Image covers 240 mm x 240 mm
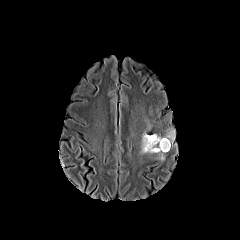
FLAIR MR image.
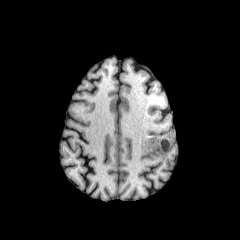
T1-weighted MRI.
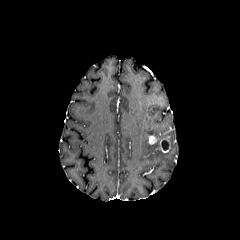
Post-contrast T1-weighted MRI.
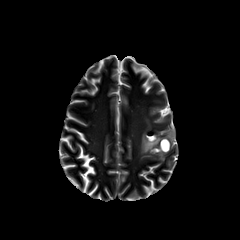
Same slice, T2-weighted MR.
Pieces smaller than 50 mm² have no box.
{"enhancing_tumor": ["148,135,159,144", "155,136,170,152"], "peritumoral_edema": ["141,130,174,160"], "necrotic_tumor_core": ["161,140,168,150"]}